240x240 | Slice 81 of 155
FLAIR MR image.
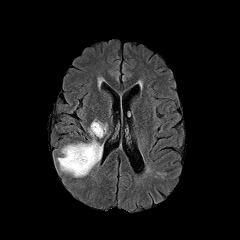
T1-weighted magnetic resonance.
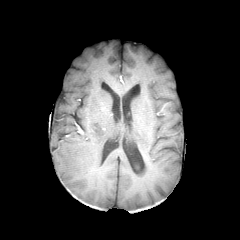
Post-contrast T1-weighted MR.
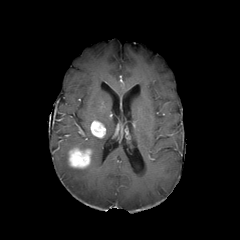
T2-weighted MR.
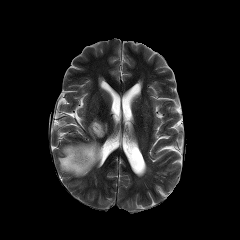
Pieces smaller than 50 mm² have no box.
<segmentation>
  <peritumoral_edema>[57, 127, 103, 177]</peritumoral_edema>
  <enhancing_tumor>[68, 147, 91, 168], [90, 120, 105, 137]</enhancing_tumor>
</segmentation>